FLAIR MR image.
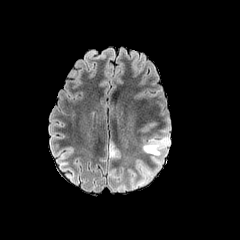
T1-weighted MR image.
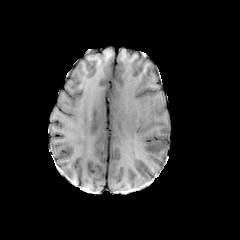
Post-contrast T1-weighted magnetic resonance.
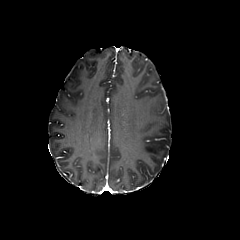
T2-weighted MRI.
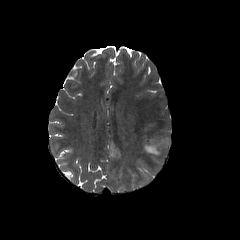
Head | Axial plane
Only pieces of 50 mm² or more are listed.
The 2 largest peritumoral edema regions are bounded by <bbox>143, 135, 169, 155</bbox>, <bbox>152, 158, 161, 171</bbox>.